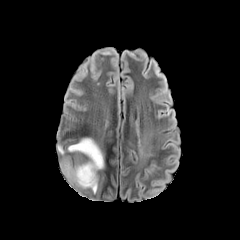
FLAIR magnetic resonance.
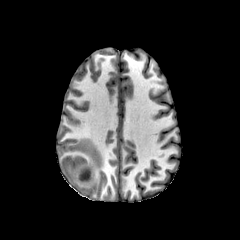
T1-weighted magnetic resonance of the same slice.
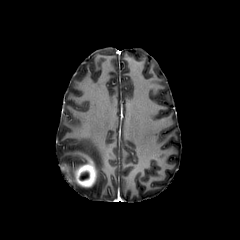
Post-contrast T1-weighted MRI.
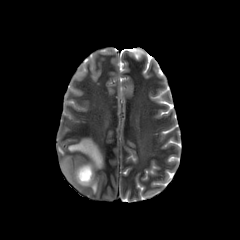
T2-weighted MR.
Head
enhancing_tumor:
  - (61, 164, 69, 173)
  - (73, 159, 96, 187)
peritumoral_edema:
  - (60, 160, 87, 188)
  - (57, 145, 64, 154)
  - (90, 176, 98, 193)
  - (68, 138, 104, 170)
necrotic_tumor_core:
  - (80, 171, 89, 180)